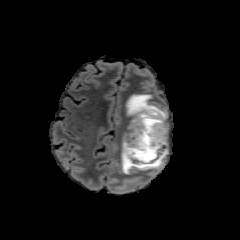
FLAIR magnetic resonance.
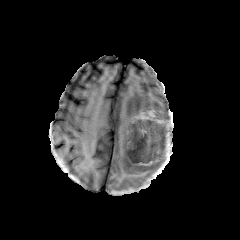
T1-weighted magnetic resonance.
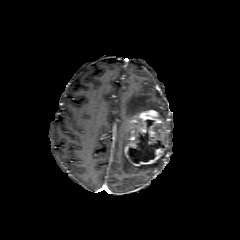
Post-contrast T1-weighted MR image.
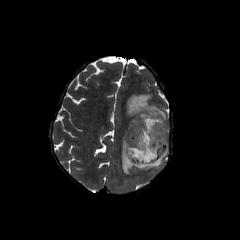
Same slice, T2-weighted MR.
Head.
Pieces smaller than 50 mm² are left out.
necrotic tumor core: bbox(127, 125, 164, 163)
peritumoral edema: bbox(126, 94, 167, 122); bbox(121, 137, 163, 175)
enhancing tumor: bbox(124, 109, 169, 167)